FLAIR MRI.
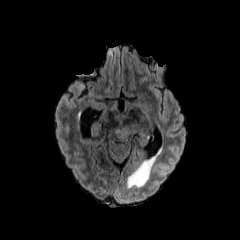
T1-weighted MR.
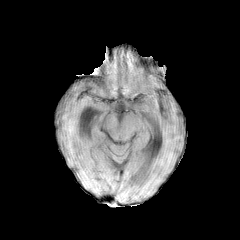
Post-contrast T1-weighted MR.
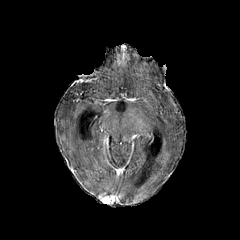
T2-weighted MR.
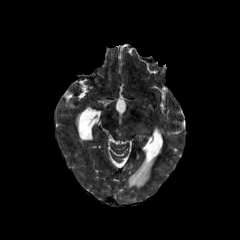
The peritumoral edema appears at <bbox>116, 121, 143, 138</bbox>.